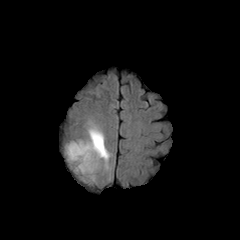
FLAIR MR image.
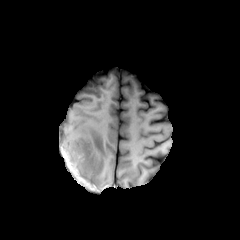
T1-weighted MRI.
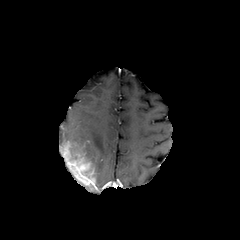
Post-contrast T1-weighted MRI of the same slice.
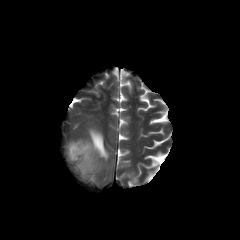
T2-weighted MR.
Head
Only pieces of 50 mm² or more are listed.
enhancing tumor: (64, 142, 96, 184) | peritumoral edema: (70, 125, 110, 172)